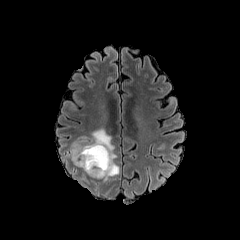
FLAIR magnetic resonance.
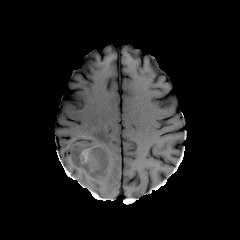
Same slice, T1-weighted magnetic resonance.
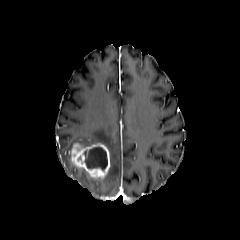
Post-contrast T1-weighted MRI.
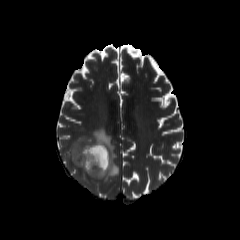
T2-weighted MRI.
Head
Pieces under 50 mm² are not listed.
enhancing tumor: <box>71,143,110,178</box>
peritumoral edema: <box>67,128,119,181</box>
necrotic tumor core: <box>84,146,107,169</box>